Slice 64 of 155. Brain. Image width 240 mm.
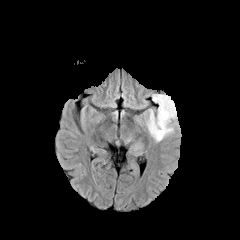
FLAIR MR.
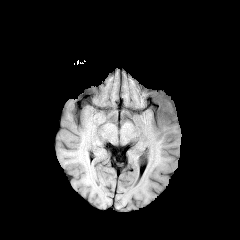
Same slice, T1-weighted MR.
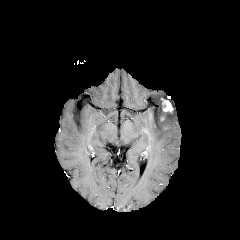
Post-contrast T1-weighted MR of the same slice.
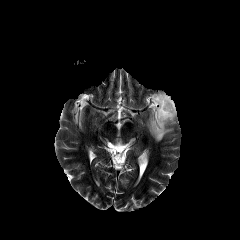
T2-weighted MR image of the same slice.
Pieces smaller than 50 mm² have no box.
The largest peritumoral edema region is bounded by box(145, 93, 177, 142). The largest enhancing tumor region appears at box(161, 98, 173, 112).